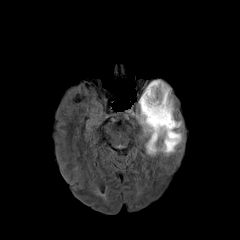
FLAIR MR image.
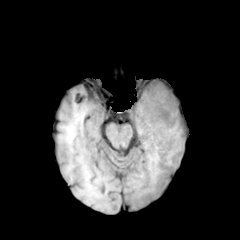
T1-weighted MR image.
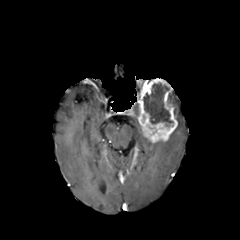
Post-contrast T1-weighted magnetic resonance of the same slice.
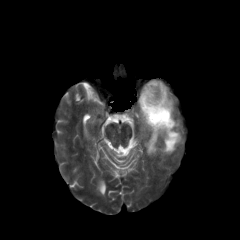
T2-weighted magnetic resonance.
Axial view.
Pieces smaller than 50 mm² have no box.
The largest necrotic tumor core region is located at x1=143, y1=83, x2=173, y2=126. The largest enhancing tumor region is at x1=137, y1=79, x2=177, y2=143. The largest peritumoral edema region is bounded by x1=145, y1=121, x2=182, y2=155.